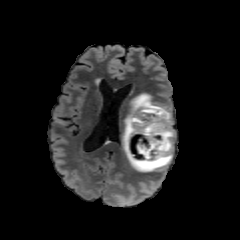
FLAIR MR image.
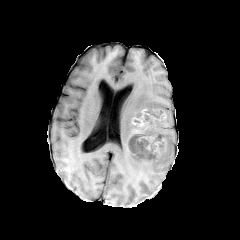
Same slice, T1-weighted MRI.
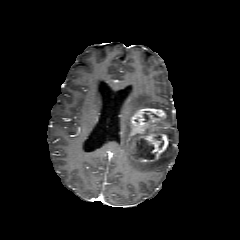
Post-contrast T1-weighted MR image.
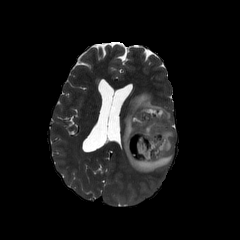
T2-weighted magnetic resonance.
Brain, Image size 240x240
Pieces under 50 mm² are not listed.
enhancing tumor: (129,107,168,165)
necrotic tumor core: (131,120,164,159)
peritumoral edema: (122,93,175,172)